Axial plane | Image width 240 mm, 1.00 mm slice spacing | 240x240 px | Slice index 38
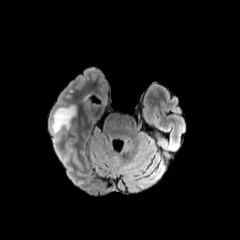
FLAIR magnetic resonance.
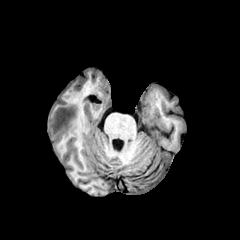
Same slice, T1-weighted magnetic resonance.
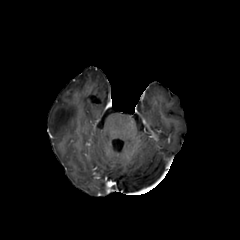
Post-contrast T1-weighted MR image.
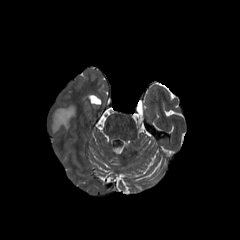
T2-weighted MRI.
peritumoral edema — 51 105 75 134